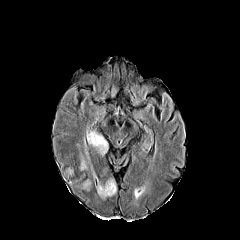
FLAIR MR image.
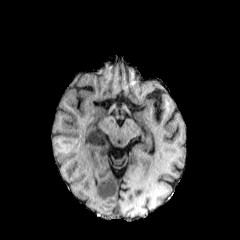
Same slice, T1-weighted magnetic resonance.
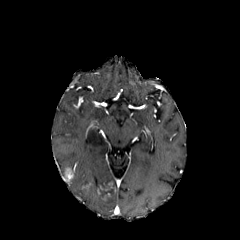
Post-contrast T1-weighted MR image.
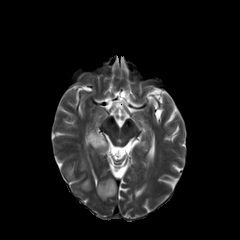
Same slice, T2-weighted MR image.
Brain, Image size 240x240
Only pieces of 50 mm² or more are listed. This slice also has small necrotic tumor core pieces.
<segmentation>
  <peritumoral_edema>(81,160,87,169), (87,130,107,155), (91,165,99,186)</peritumoral_edema>
  <enhancing_tumor>(97,181,115,194), (62,167,74,182)</enhancing_tumor>
</segmentation>